240x240 px; Brain
FLAIR MR image.
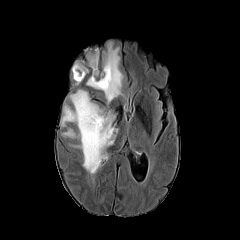
T1-weighted MRI.
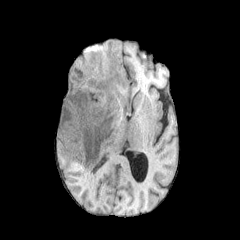
Post-contrast T1-weighted MR.
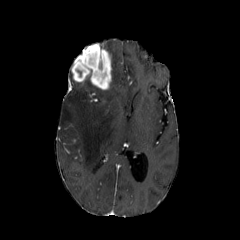
T2-weighted MRI.
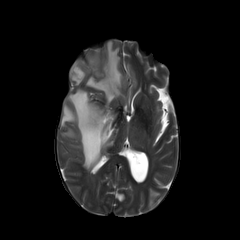
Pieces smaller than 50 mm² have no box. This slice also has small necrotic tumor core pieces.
peritumoral edema = rect(86, 78, 100, 89); rect(101, 42, 123, 103); rect(61, 89, 117, 171)
enhancing tumor = rect(71, 61, 89, 82); rect(75, 44, 111, 89)